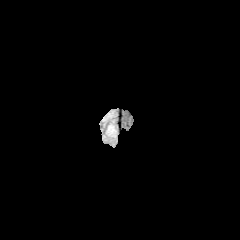
FLAIR MR image.
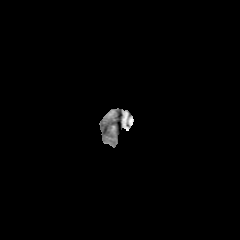
T1-weighted MR image of the same slice.
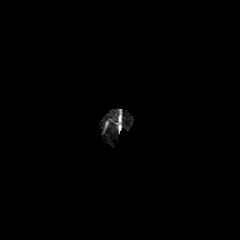
Post-contrast T1-weighted MR of the same slice.
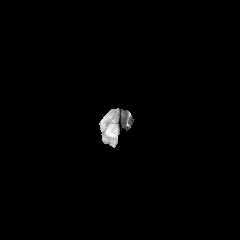
T2-weighted MRI.
Image size 240x240; Head
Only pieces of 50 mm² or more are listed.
Annotated regions:
* peritumoral edema: 102,110,116,139